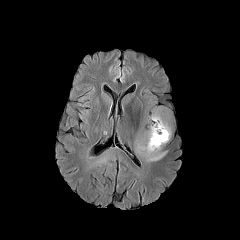
FLAIR magnetic resonance.
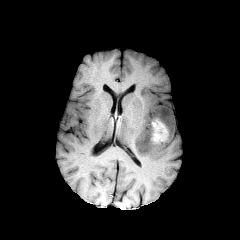
T1-weighted MRI.
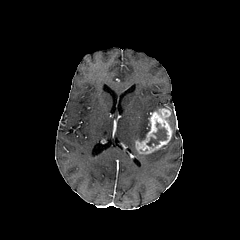
Post-contrast T1-weighted MR image.
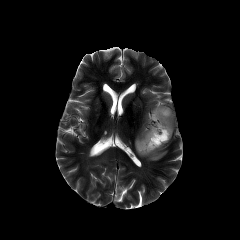
Same slice, T2-weighted MR.
240x240 px | Axial slice
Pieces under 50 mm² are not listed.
The 2 largest peritumoral edema regions appear at 136, 129, 149, 140; 140, 148, 166, 160. The enhancing tumor is at 135, 107, 172, 154. The largest necrotic tumor core region lies within 147, 128, 166, 146.